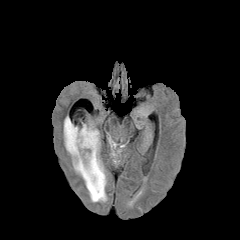
FLAIR MRI.
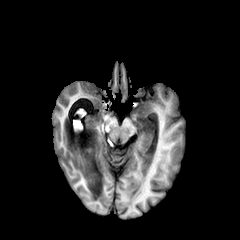
T1-weighted MR of the same slice.
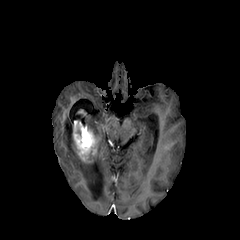
Post-contrast T1-weighted magnetic resonance.
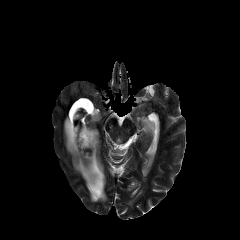
T2-weighted MR.
240x240. Head.
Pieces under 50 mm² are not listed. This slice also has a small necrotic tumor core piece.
The enhancing tumor is located at 72, 125, 98, 162. The largest peritumoral edema region lies within 63, 116, 107, 202.